Head | Slice index 50 | Image size 240x240
FLAIR MR image.
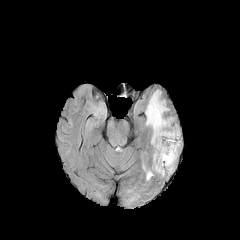
T1-weighted MR.
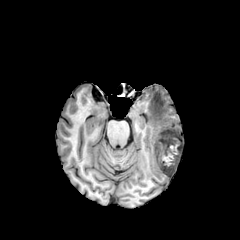
Post-contrast T1-weighted magnetic resonance.
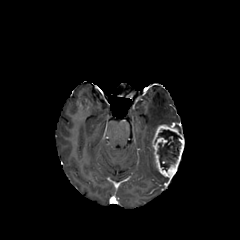
T2-weighted MR.
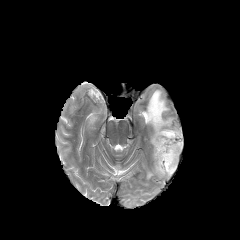
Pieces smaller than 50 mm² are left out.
{
  "enhancing_tumor": [
    "(152,124,183,177)"
  ],
  "peritumoral_edema": [
    "(146,171,153,179)",
    "(146,90,172,136)"
  ],
  "necrotic_tumor_core": [
    "(157,130,181,171)"
  ]
}